240x240 px | Brain
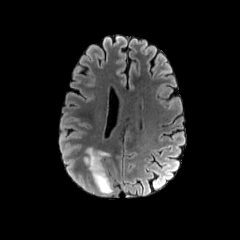
FLAIR MR.
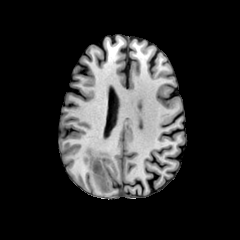
T1-weighted MR image.
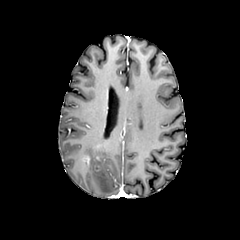
Same slice, post-contrast T1-weighted MRI.
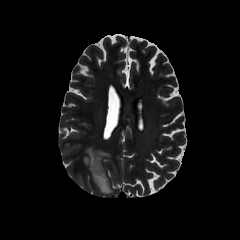
T2-weighted MR of the same slice.
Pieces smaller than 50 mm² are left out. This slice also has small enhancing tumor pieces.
peritumoral_edema:
  - bbox=[84, 147, 112, 193]